240x240 | Image width 240 mm, 1.00 mm slice spacing
FLAIR MR image.
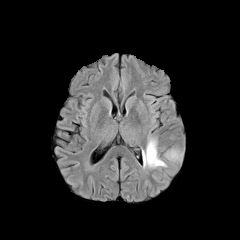
T1-weighted magnetic resonance.
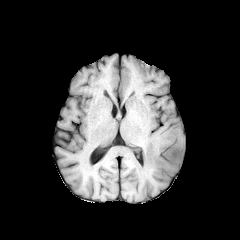
Post-contrast T1-weighted magnetic resonance.
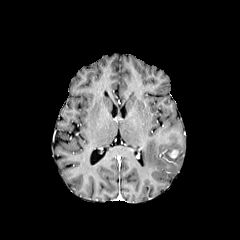
T2-weighted MRI.
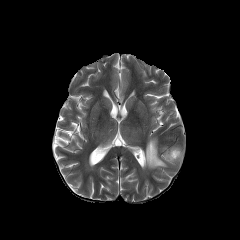
Findings:
* enhancing tumor: bbox(169, 149, 179, 158)
* peritumoral edema: bbox(142, 138, 166, 168); bbox(165, 149, 182, 161)